FLAIR MR.
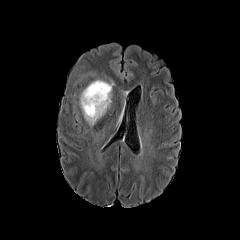
T1-weighted MR image.
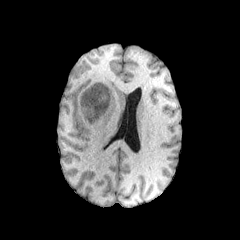
Post-contrast T1-weighted MR.
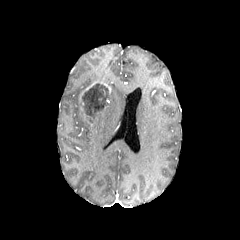
T2-weighted MR image.
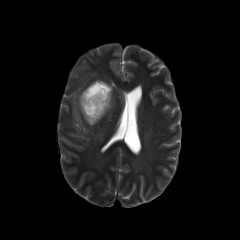
Brain, Axial slice
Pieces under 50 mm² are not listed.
<segmentation>
  <peritumoral_edema>79 92 111 126</peritumoral_edema>
  <necrotic_tumor_core>83 83 109 118</necrotic_tumor_core>
  <enhancing_tumor>79 81 111 101</enhancing_tumor>
</segmentation>